FLAIR MR image.
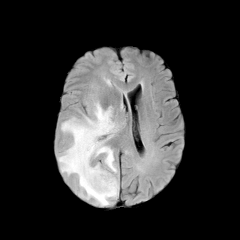
T1-weighted magnetic resonance.
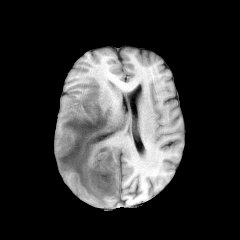
Post-contrast T1-weighted magnetic resonance.
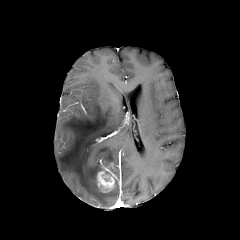
T2-weighted magnetic resonance.
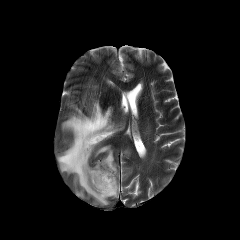
240x240 px.
peritumoral_edema:
  - bbox(57, 101, 119, 205)
enhancing_tumor:
  - bbox(96, 163, 117, 192)